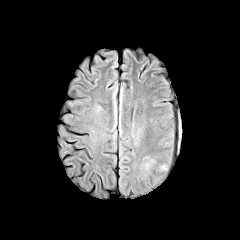
FLAIR MR.
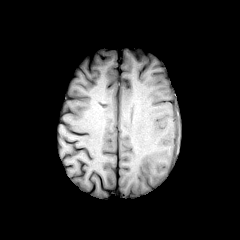
Same slice, T1-weighted MRI.
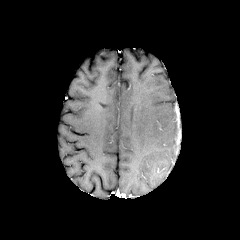
Post-contrast T1-weighted MR image.
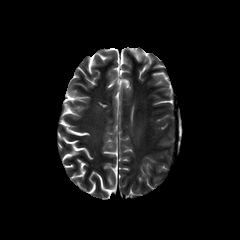
Same slice, T2-weighted MR.
Axial plane | Head
{
  "peritumoral_edema": [
    "left=155, top=161, right=170, bottom=172",
    "left=145, top=158, right=155, bottom=169"
  ]
}